FLAIR MR image.
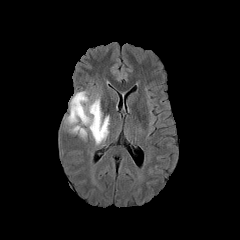
T1-weighted magnetic resonance.
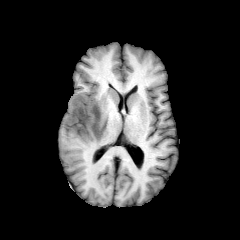
Post-contrast T1-weighted MRI.
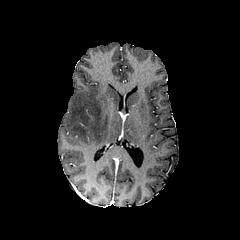
T2-weighted MR image.
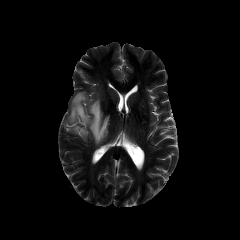
Axial plane | 240x240 px
peritumoral edema at box=[67, 91, 109, 144]; box=[71, 125, 86, 138]